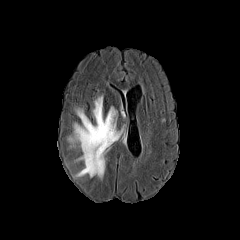
FLAIR magnetic resonance.
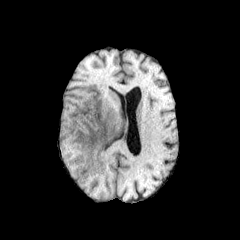
T1-weighted MR image of the same slice.
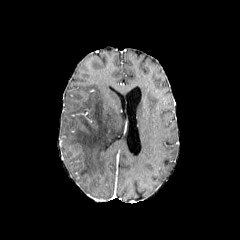
Post-contrast T1-weighted MR image of the same slice.
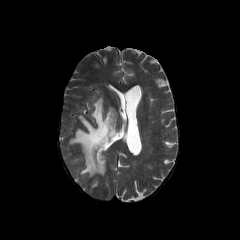
T2-weighted MR.
Image size 240x240; Head; Axial plane
peritumoral edema — left=70, top=97, right=121, bottom=177